Brain.
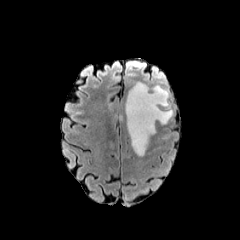
FLAIR magnetic resonance.
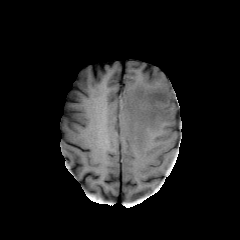
Same slice, T1-weighted MR image.
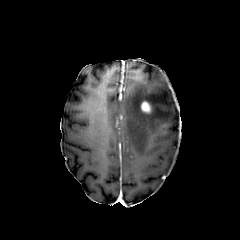
Same slice, post-contrast T1-weighted MRI.
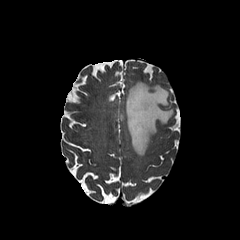
Same slice, T2-weighted MR.
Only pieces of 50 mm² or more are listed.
peritumoral edema: (125, 82, 173, 156) | enhancing tumor: (141, 101, 150, 113)